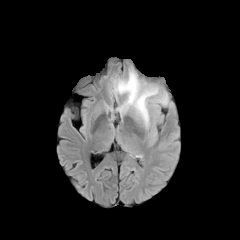
FLAIR MRI.
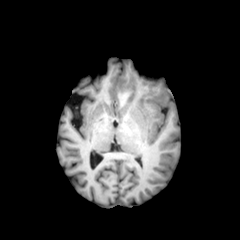
T1-weighted MR image of the same slice.
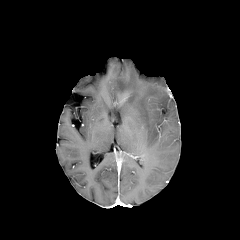
Post-contrast T1-weighted MR.
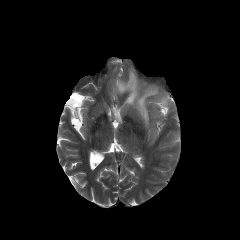
T2-weighted MRI of the same slice.
Axial view
peritumoral edema at (left=114, top=70, right=158, bottom=126), (left=154, top=92, right=167, bottom=105)